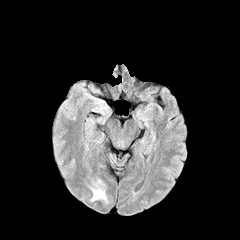
FLAIR magnetic resonance.
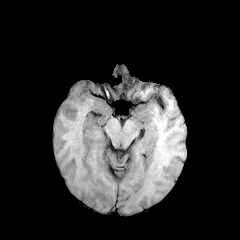
T1-weighted MRI.
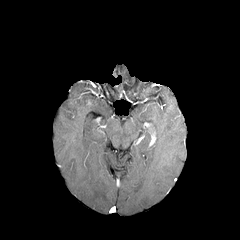
Post-contrast T1-weighted magnetic resonance.
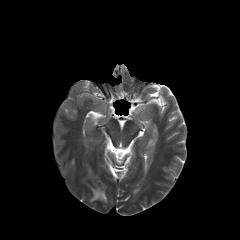
T2-weighted MR image of the same slice.
Axial view
The peritumoral edema lies within left=91, top=185, right=106, bottom=201.